Brain | Slice 29 of 155
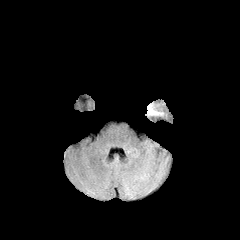
FLAIR magnetic resonance.
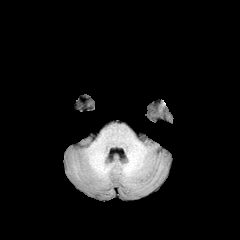
Same slice, T1-weighted MR.
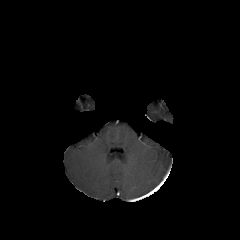
Post-contrast T1-weighted magnetic resonance.
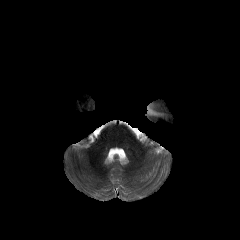
Same slice, T2-weighted MRI.
The peritumoral edema appears at rect(147, 103, 162, 115).